FLAIR MR.
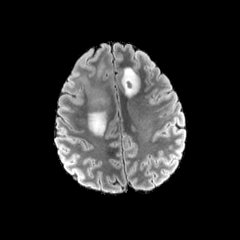
T1-weighted magnetic resonance.
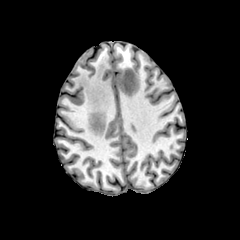
Post-contrast T1-weighted MR.
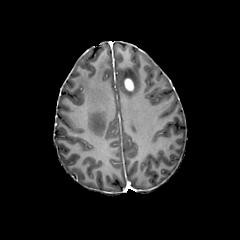
T2-weighted magnetic resonance.
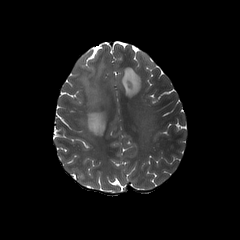
Head, Axial view
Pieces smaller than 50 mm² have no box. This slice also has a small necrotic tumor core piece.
- enhancing tumor: <bbox>124, 78, 134, 91</bbox>
- peritumoral edema: <bbox>79, 58, 108, 135</bbox>, <bbox>121, 65, 141, 97</bbox>